FLAIR MRI.
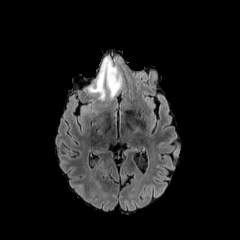
T1-weighted MRI.
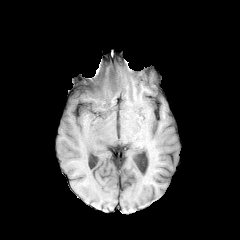
Post-contrast T1-weighted MRI.
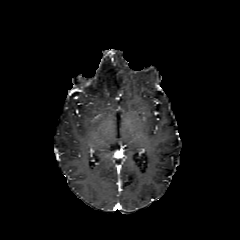
T2-weighted magnetic resonance.
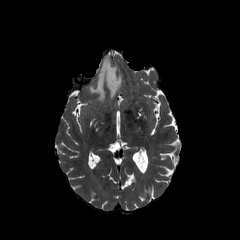
240x240 px | Brain | Axial slice
The peritumoral edema is located at box(88, 57, 122, 100).